FLAIR MR.
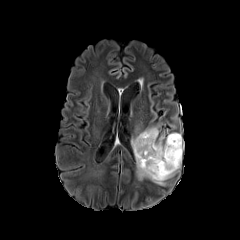
T1-weighted MR image.
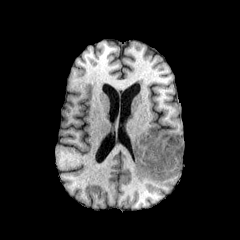
Post-contrast T1-weighted MRI.
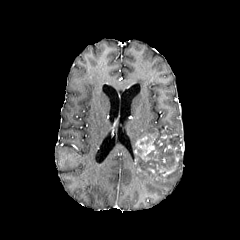
T2-weighted magnetic resonance.
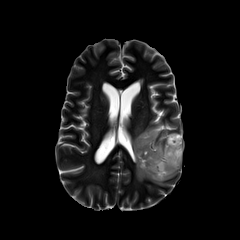
240x240
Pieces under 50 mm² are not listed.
• enhancing tumor: <box>156,154,179,177</box>, <box>134,133,158,161</box>
• necrotic tumor core: <box>136,134,180,179</box>
• peritumoral edema: <box>131,126,159,150</box>, <box>135,155,180,185</box>